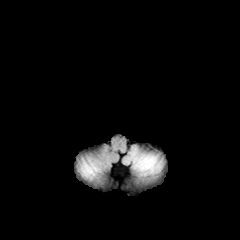
FLAIR MR image.
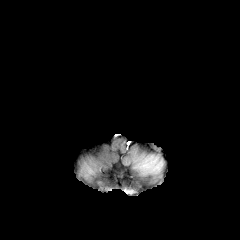
T1-weighted magnetic resonance.
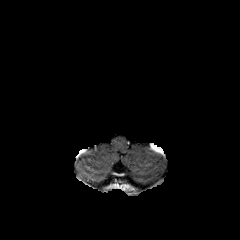
Post-contrast T1-weighted magnetic resonance of the same slice.
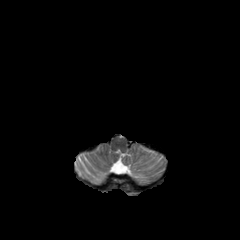
Same slice, T2-weighted MRI.
Brain
Findings:
- peritumoral edema: x1=145, y1=159, x2=156, y2=168